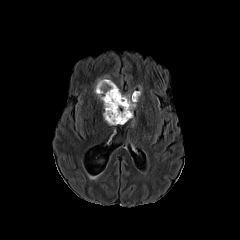
FLAIR MR.
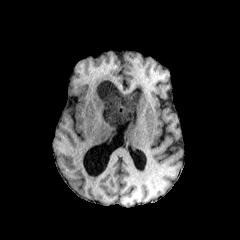
T1-weighted MR.
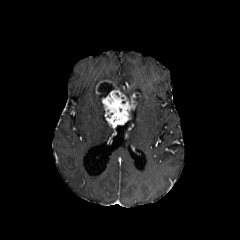
Post-contrast T1-weighted MRI of the same slice.
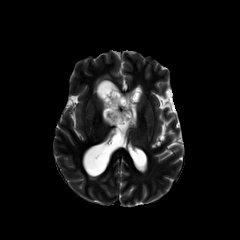
T2-weighted MR image.
Image size 240x240, Head
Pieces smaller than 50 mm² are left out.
<segmentation>
  <necrotic_tumor_core>[97, 82, 115, 97]</necrotic_tumor_core>
  <enhancing_tumor>[102, 87, 139, 126], [95, 80, 112, 94]</enhancing_tumor>
  <peritumoral_edema>[96, 76, 110, 85], [133, 91, 140, 105]</peritumoral_edema>
</segmentation>